240x240 px | Axial plane
FLAIR MR.
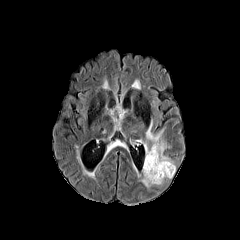
T1-weighted MR.
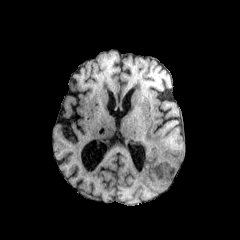
Post-contrast T1-weighted MR image.
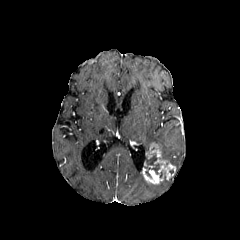
T2-weighted magnetic resonance.
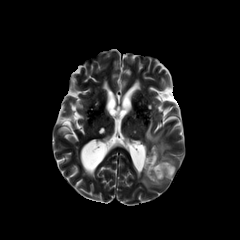
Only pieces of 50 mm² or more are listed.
peritumoral edema: box(141, 177, 152, 188); box(146, 122, 174, 165)
enhancing tumor: box(142, 143, 175, 184)
necrotic tumor core: box(145, 154, 159, 177)